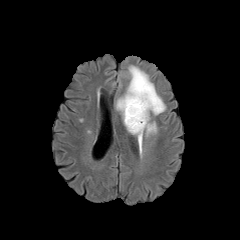
FLAIR magnetic resonance.
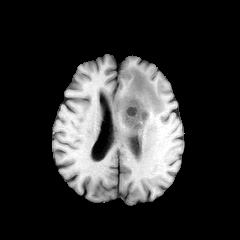
T1-weighted magnetic resonance of the same slice.
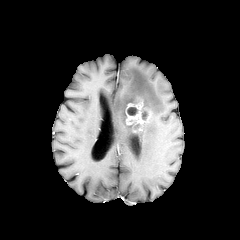
Post-contrast T1-weighted MRI.
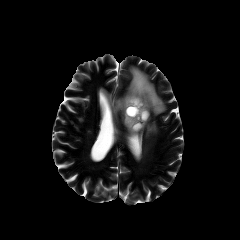
T2-weighted MR.
Head
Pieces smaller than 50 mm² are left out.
The peritumoral edema appears at (x1=115, y1=65, x2=165, y2=156). The largest necrotic tumor core region appears at (x1=127, y1=107, x2=137, y2=115). The enhancing tumor lies within (x1=125, y1=98, x2=150, y2=132).